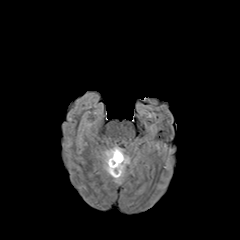
FLAIR MR.
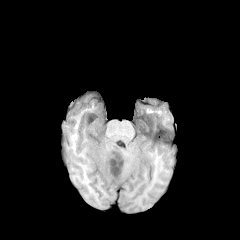
T1-weighted MR image of the same slice.
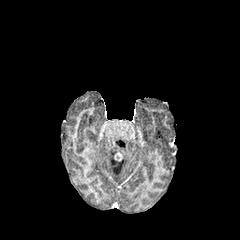
Same slice, post-contrast T1-weighted MR.
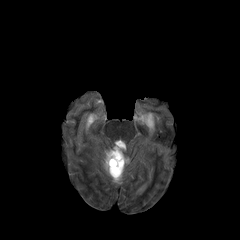
T2-weighted MR image.
Axial view
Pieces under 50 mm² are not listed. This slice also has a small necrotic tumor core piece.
enhancing tumor: x1=110 y1=151 x2=122 y2=171 | peritumoral edema: x1=103 y1=145 x2=129 y2=182